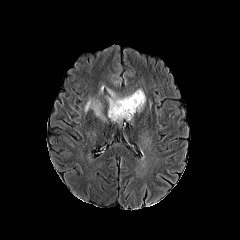
FLAIR MRI.
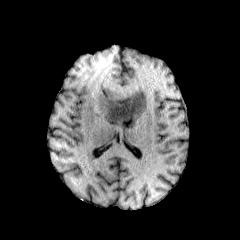
T1-weighted MR image of the same slice.
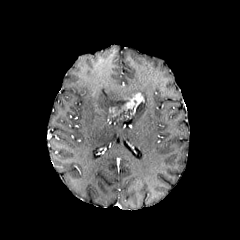
Same slice, post-contrast T1-weighted MR.
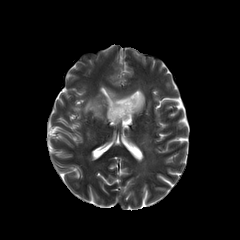
T2-weighted MR.
Axial plane. Brain. Image size 240x240.
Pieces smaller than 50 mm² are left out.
<segmentation>
  <necrotic_tumor_core>[x1=108, y1=99, x2=133, y2=118]</necrotic_tumor_core>
  <enhancing_tumor>[x1=122, y1=92, x2=144, y2=111]</enhancing_tumor>
  <peritumoral_edema>[x1=106, y1=89, x2=131, y2=107], [x1=110, y1=117, x2=125, y2=123], [x1=137, y1=101, x2=144, y2=111], [x1=84, y1=99, x2=105, y2=120]</peritumoral_edema>
</segmentation>